FLAIR magnetic resonance.
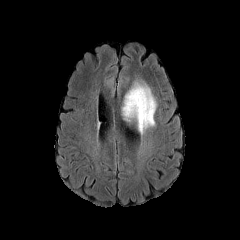
T1-weighted MR.
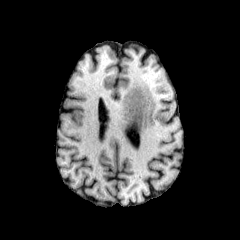
Post-contrast T1-weighted MRI.
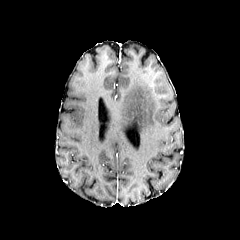
T2-weighted magnetic resonance.
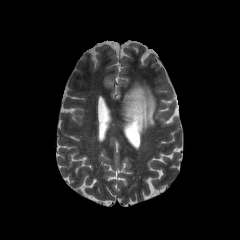
Brain. Axial view.
peritumoral_edema:
  - 122:82:156:133